Axial view | Image width 240 mm, 1.00 mm slice spacing | Brain
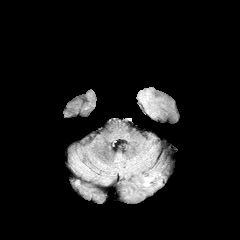
FLAIR MR.
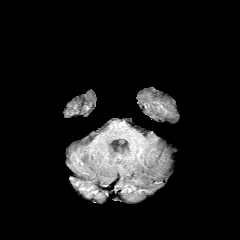
T1-weighted MR image.
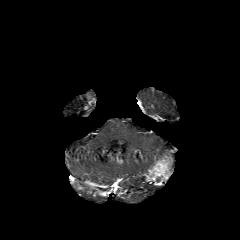
Post-contrast T1-weighted magnetic resonance of the same slice.
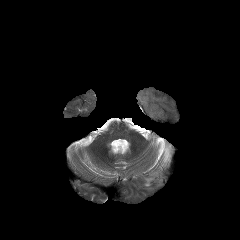
Same slice, T2-weighted magnetic resonance.
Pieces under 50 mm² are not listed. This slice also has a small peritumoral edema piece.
enhancing tumor at [145,156,171,185]